FLAIR MRI.
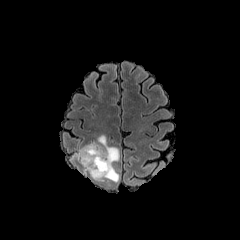
T1-weighted MRI.
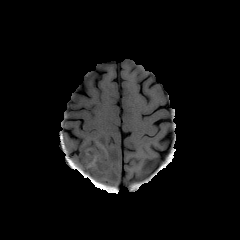
Post-contrast T1-weighted MR.
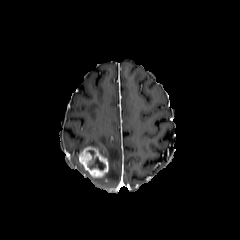
T2-weighted MR.
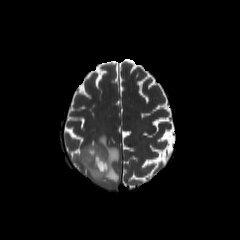
Head; 240x240 px
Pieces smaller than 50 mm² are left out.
necrotic tumor core = left=88, top=150, right=105, bottom=169
enhancing tumor = left=79, top=146, right=108, bottom=177
peritumoral edema = left=71, top=134, right=119, bottom=182